FLAIR MR image.
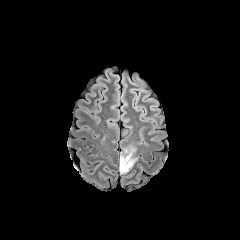
T1-weighted MR.
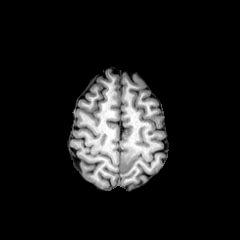
Post-contrast T1-weighted MRI.
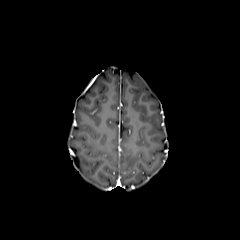
T2-weighted MR image.
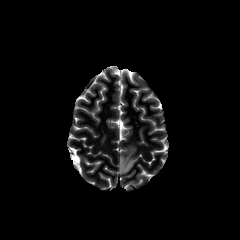
Brain | 240x240 | Axial plane
peritumoral_edema:
  - left=120, top=143, right=137, bottom=174